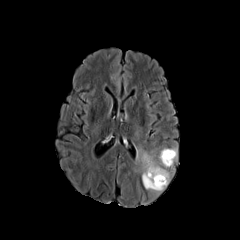
FLAIR MR image.
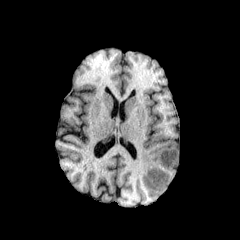
T1-weighted magnetic resonance.
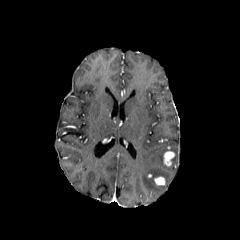
Same slice, post-contrast T1-weighted MR.
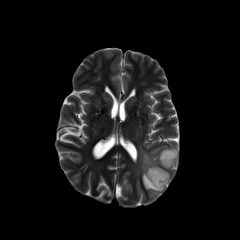
T2-weighted magnetic resonance of the same slice.
Head | Axial view
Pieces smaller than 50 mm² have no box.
enhancing tumor: box(163, 151, 174, 166); box(154, 176, 165, 185) | peritumoral edema: box(137, 147, 177, 194)